Slice 59/155. Axial slice. Image width 240 mm.
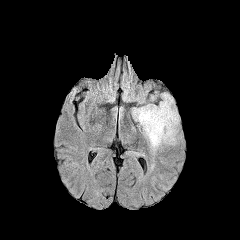
FLAIR MR image.
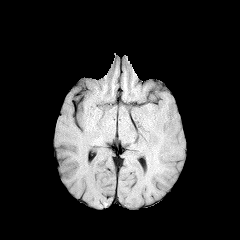
Same slice, T1-weighted MR image.
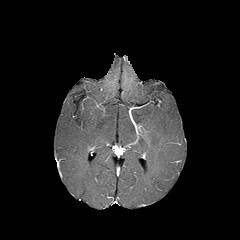
Post-contrast T1-weighted magnetic resonance.
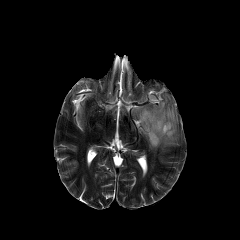
Same slice, T2-weighted magnetic resonance.
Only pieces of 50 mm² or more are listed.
peritumoral edema: 132:93:178:151